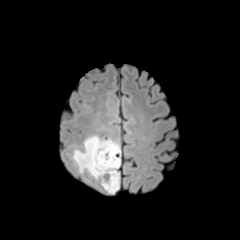
FLAIR magnetic resonance.
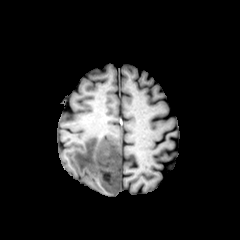
T1-weighted magnetic resonance of the same slice.
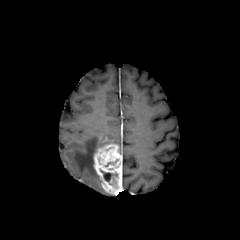
Post-contrast T1-weighted MR image of the same slice.
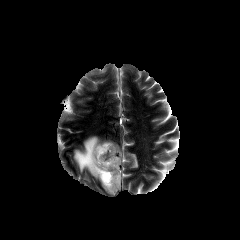
Same slice, T2-weighted MR.
Axial slice. Brain. Image size 240x240.
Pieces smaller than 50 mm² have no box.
peritumoral_edema:
  - x1=73 y1=136 x2=116 y2=178
necrotic_tumor_core:
  - x1=100 y1=170 x2=117 y2=181
enhancing_tumor:
  - x1=94 y1=143 x2=121 y2=194